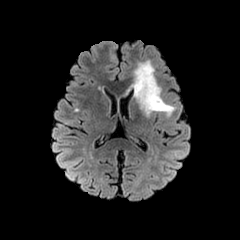
FLAIR magnetic resonance.
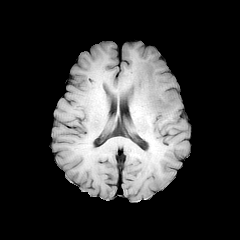
T1-weighted MR image.
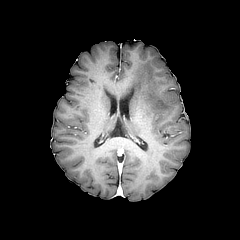
Post-contrast T1-weighted MRI of the same slice.
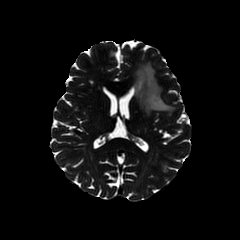
T2-weighted MR image of the same slice.
240x240 px
The peritumoral edema is located at rect(133, 60, 175, 116).